240x240, Slice index 98, Image width 240 mm, Head
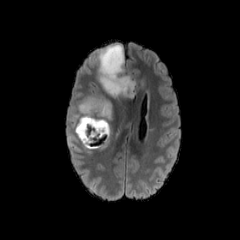
FLAIR magnetic resonance.
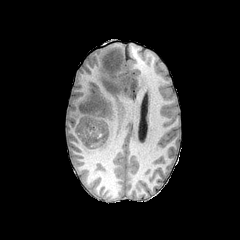
T1-weighted magnetic resonance.
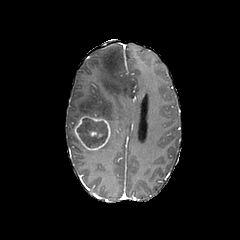
Post-contrast T1-weighted magnetic resonance.
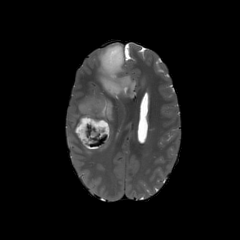
T2-weighted MRI of the same slice.
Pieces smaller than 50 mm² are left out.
{
  "peritumoral_edema": [
    "left=117, top=103, right=122, bottom=124",
    "left=124, top=115, right=132, bottom=127",
    "left=65, top=44, right=148, bottom=154"
  ],
  "necrotic_tumor_core": [
    "left=77, top=118, right=107, bottom=147"
  ],
  "enhancing_tumor": [
    "left=74, top=116, right=110, bottom=150"
  ]
}